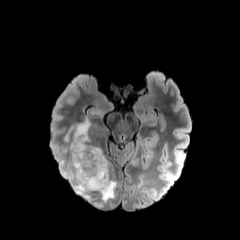
FLAIR MR image.
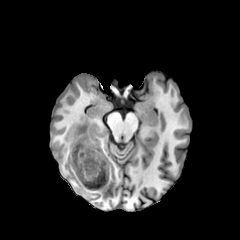
T1-weighted MR.
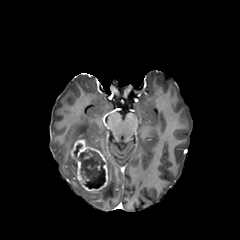
Post-contrast T1-weighted MRI.
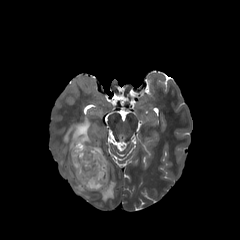
Same slice, T2-weighted MR.
Head; Axial view
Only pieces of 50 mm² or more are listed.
<segmentation>
  <enhancing_tumor>box(71, 139, 108, 191)</enhancing_tumor>
  <peritumoral_edema>box(98, 160, 116, 201); box(64, 118, 102, 165); box(73, 167, 91, 198)</peritumoral_edema>
  <necrotic_tumor_core>box(74, 143, 82, 157); box(78, 149, 105, 188)</necrotic_tumor_core>
</segmentation>